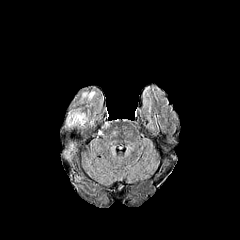
FLAIR MR image.
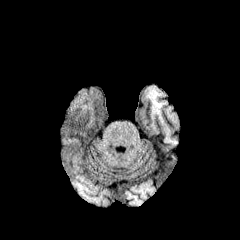
Same slice, T1-weighted MR.
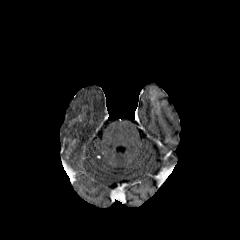
Same slice, post-contrast T1-weighted MR.
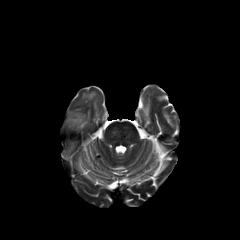
T2-weighted MR image.
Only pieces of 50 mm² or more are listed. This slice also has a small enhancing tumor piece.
The 2 largest peritumoral edema regions are located at bbox=[82, 92, 94, 99]; bbox=[67, 113, 85, 126].